FLAIR magnetic resonance.
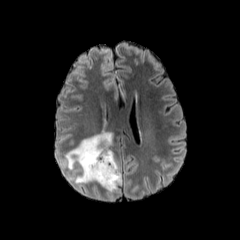
T1-weighted MR image.
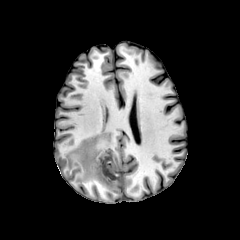
Post-contrast T1-weighted magnetic resonance.
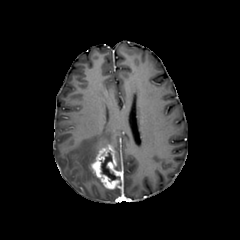
T2-weighted MR.
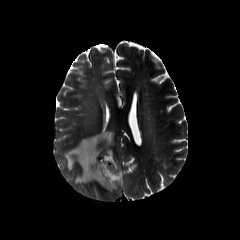
Head
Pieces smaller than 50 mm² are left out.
Annotated regions:
• necrotic tumor core: 101, 152, 120, 180
• enhancing tumor: 90, 145, 122, 189
• peritumoral edema: 65, 132, 112, 186